FLAIR MR.
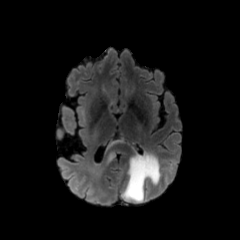
T1-weighted MR.
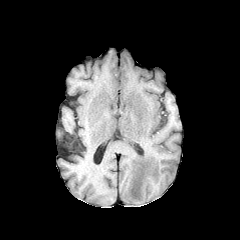
Post-contrast T1-weighted MR.
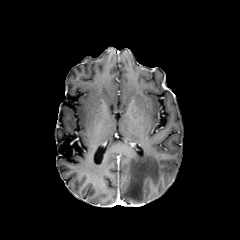
T2-weighted magnetic resonance.
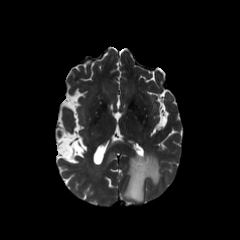
Axial view | 240x240 px
peritumoral edema: 106 141 125 150, 122 153 160 202, 108 152 115 161